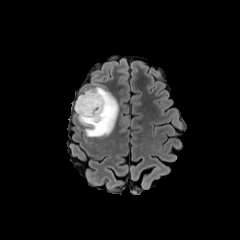
FLAIR MR image.
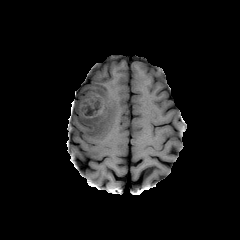
T1-weighted magnetic resonance of the same slice.
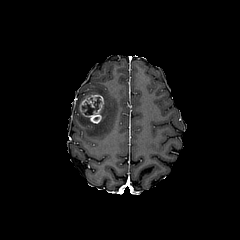
Post-contrast T1-weighted MRI.
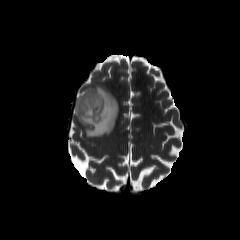
Same slice, T2-weighted MR.
Head | Image size 240x240
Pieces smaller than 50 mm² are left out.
The largest necrotic tumor core region is located at (82, 97, 100, 114). The enhancing tumor is at (79, 94, 104, 123). The peritumoral edema is at (75, 86, 118, 137).